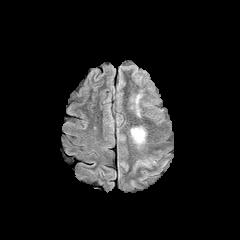
FLAIR MR image.
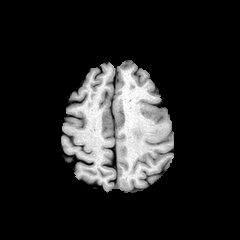
T1-weighted MR.
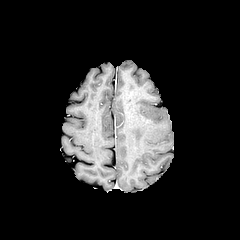
Post-contrast T1-weighted magnetic resonance of the same slice.
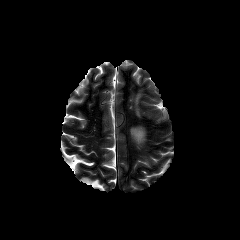
T2-weighted magnetic resonance of the same slice.
Brain
Annotated regions:
• peritumoral edema: 131, 129, 144, 142